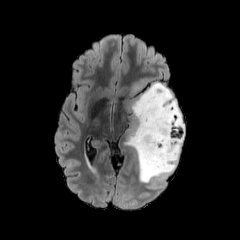
FLAIR MR.
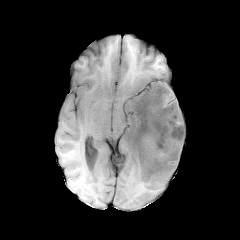
T1-weighted magnetic resonance.
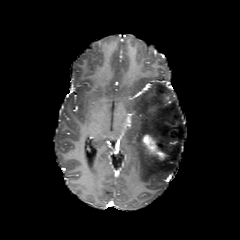
Post-contrast T1-weighted MR.
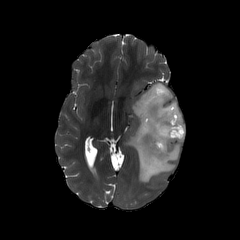
T2-weighted MRI of the same slice.
240x240
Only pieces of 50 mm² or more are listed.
The enhancing tumor is located at box(142, 134, 165, 159). The largest peritumoral edema region is bounded by box(126, 82, 184, 182).